FLAIR magnetic resonance.
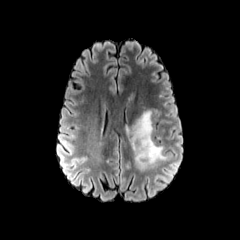
T1-weighted MRI.
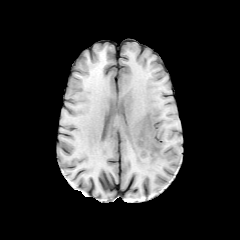
Post-contrast T1-weighted magnetic resonance.
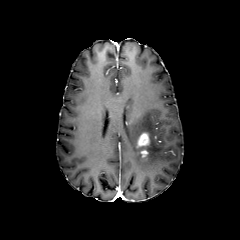
T2-weighted MRI.
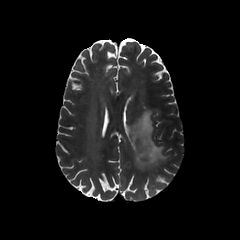
Brain | Axial slice
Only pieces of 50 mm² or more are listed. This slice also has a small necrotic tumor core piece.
peritumoral edema: bounding box box(125, 110, 166, 171)
enhancing tumor: bounding box box(137, 131, 150, 157)